FLAIR MRI.
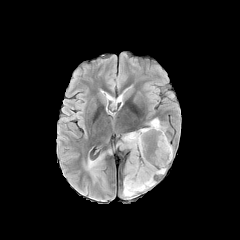
T1-weighted MR image.
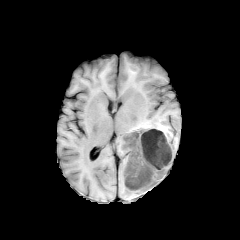
Post-contrast T1-weighted magnetic resonance.
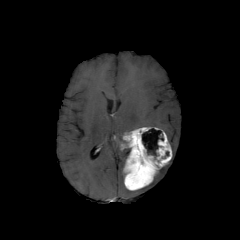
T2-weighted MR.
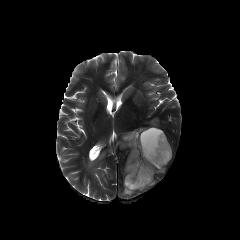
Head; Axial view
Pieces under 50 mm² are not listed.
Annotated regions:
- necrotic tumor core: rect(142, 128, 163, 156)
- peritumoral edema: rect(157, 166, 165, 174); rect(87, 157, 101, 177); rect(123, 180, 155, 197); rect(149, 118, 164, 131)
- enhancing tumor: rect(120, 127, 172, 190)